Slice index 102. Head.
FLAIR magnetic resonance.
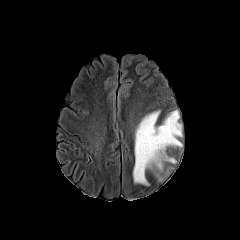
T1-weighted magnetic resonance.
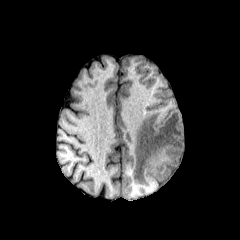
Post-contrast T1-weighted magnetic resonance.
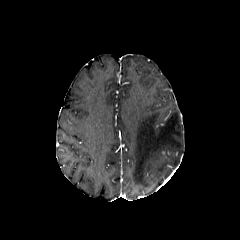
T2-weighted MR.
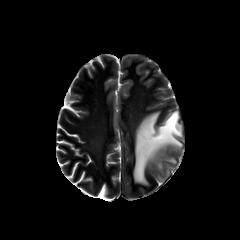
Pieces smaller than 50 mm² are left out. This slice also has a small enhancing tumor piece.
<segmentation>
  <peritumoral_edema>[133,110,182,185]</peritumoral_edema>
</segmentation>